240x240 px, Head, Slice 94 of 155, Image width 240 mm, 1.00 mm slice spacing
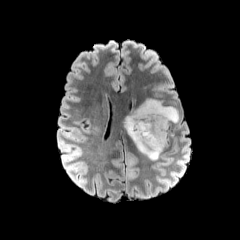
FLAIR MR image.
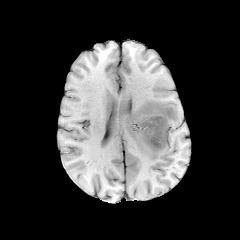
Same slice, T1-weighted MRI.
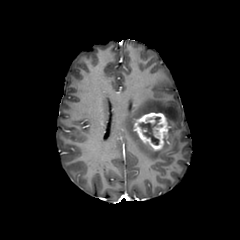
Post-contrast T1-weighted MRI of the same slice.
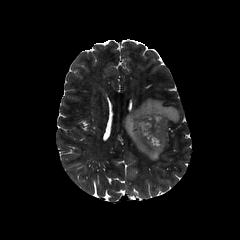
T2-weighted MRI of the same slice.
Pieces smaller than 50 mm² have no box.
Segmented structures:
- necrotic tumor core: 138 115 161 145
- enhancing tumor: 134 112 169 150
- peritumoral edema: 124 98 179 160